Axial view. 240x240 px. Head.
FLAIR magnetic resonance.
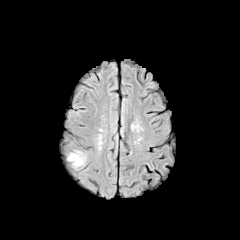
T1-weighted MRI.
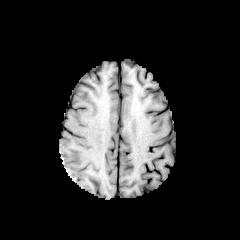
Post-contrast T1-weighted MRI.
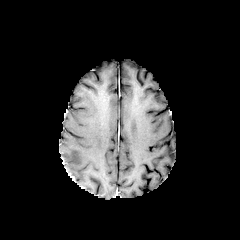
T2-weighted MR image.
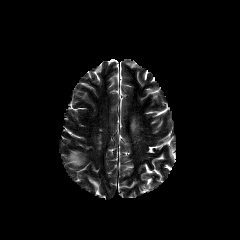
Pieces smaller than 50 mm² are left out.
Annotated regions:
• peritumoral edema: <bbox>68, 151, 84, 166</bbox>